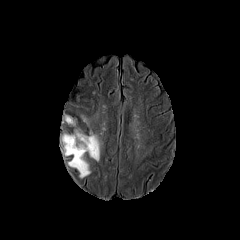
FLAIR MR image.
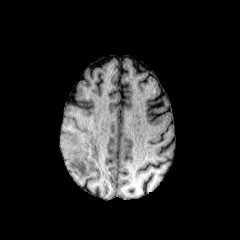
T1-weighted MR of the same slice.
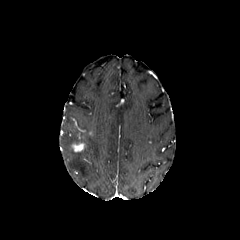
Post-contrast T1-weighted MR image of the same slice.
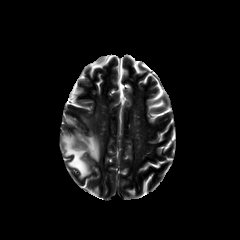
Same slice, T2-weighted magnetic resonance.
Axial slice | Head
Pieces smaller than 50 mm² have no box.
Annotated regions:
* enhancing tumor: [x1=71, y1=141, x2=86, y2=152]
* peritumoral edema: [x1=65, y1=115, x2=74, y2=125], [x1=61, y1=129, x2=101, y2=178]